FLAIR MR.
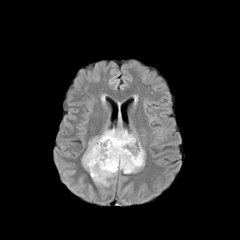
T1-weighted MR image.
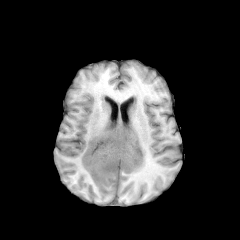
Post-contrast T1-weighted magnetic resonance.
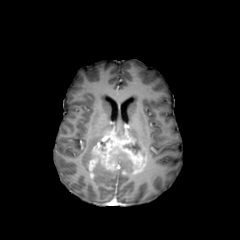
T2-weighted MRI.
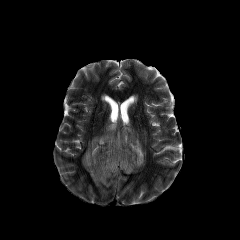
Head
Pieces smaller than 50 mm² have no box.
• necrotic tumor core: 117 153 133 172, 124 141 143 156
• peritumoral edema: 113 128 126 136, 82 130 110 170, 92 162 117 186
• enhancing tumor: 88 130 145 177